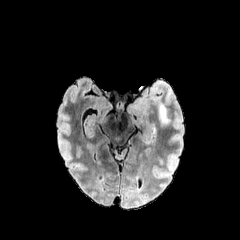
FLAIR magnetic resonance.
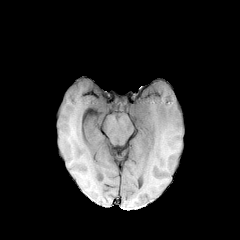
T1-weighted MRI of the same slice.
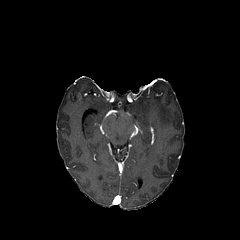
Post-contrast T1-weighted MR image of the same slice.
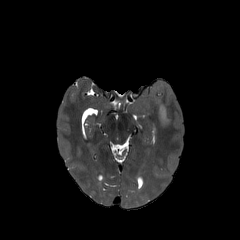
Same slice, T2-weighted MR.
Head
peritumoral edema: 159, 103, 170, 125